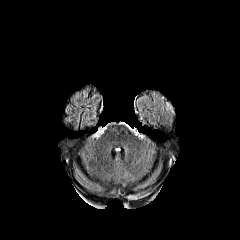
FLAIR MRI.
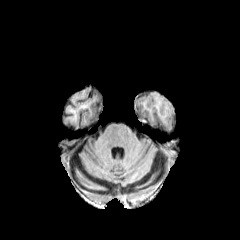
T1-weighted MR image.
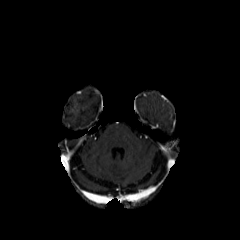
Post-contrast T1-weighted magnetic resonance.
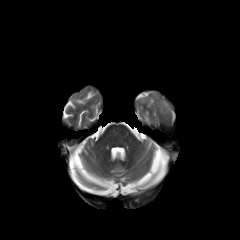
T2-weighted MRI.
Findings:
* peritumoral edema: [166, 103, 173, 113]